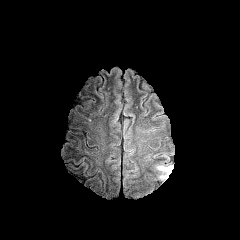
FLAIR MR image.
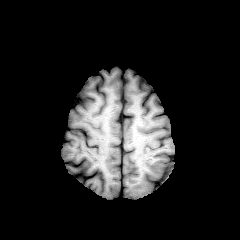
T1-weighted MRI of the same slice.
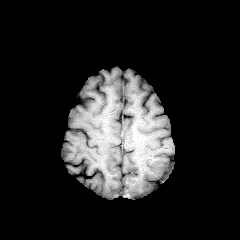
Post-contrast T1-weighted MRI of the same slice.
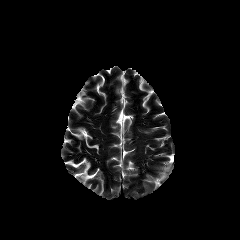
Same slice, T2-weighted MR image.
Axial plane, Head
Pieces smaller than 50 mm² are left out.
* peritumoral edema: region(160, 166, 172, 173)